FLAIR MRI.
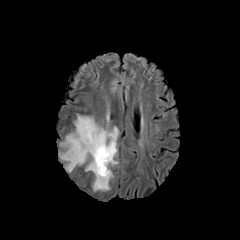
T1-weighted MRI.
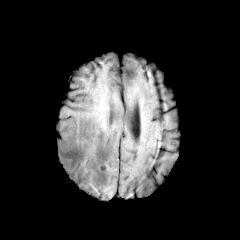
Post-contrast T1-weighted magnetic resonance.
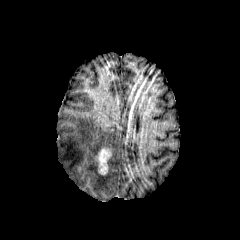
T2-weighted MR.
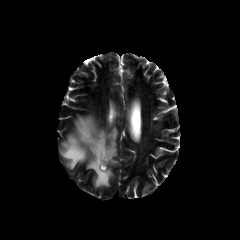
240x240 px
peritumoral edema at box(60, 115, 118, 190)
enhancing tumor at box(96, 148, 111, 174)